Axial slice; Image width 240 mm; 240x240 px; Head
FLAIR MR.
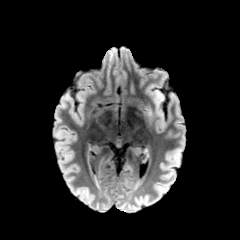
T1-weighted MR image.
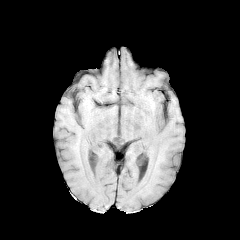
Post-contrast T1-weighted MR.
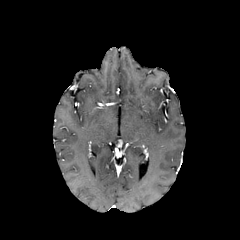
T2-weighted magnetic resonance.
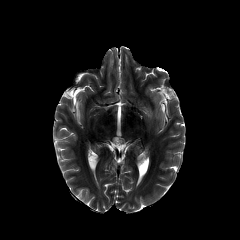
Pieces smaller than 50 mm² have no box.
The largest peritumoral edema region appears at <box>154,94,162,123</box>.